Brain | 240x240 px
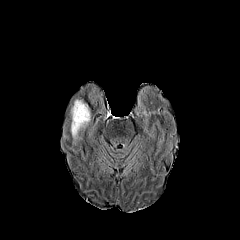
FLAIR MRI.
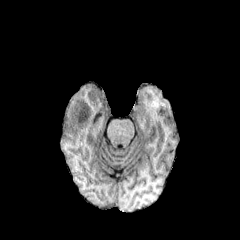
T1-weighted magnetic resonance.
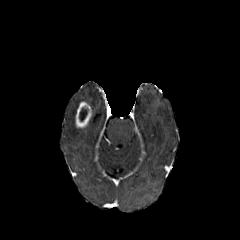
Post-contrast T1-weighted MRI of the same slice.
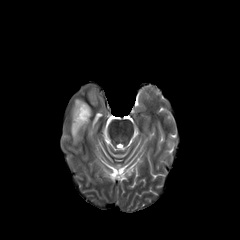
T2-weighted MR image of the same slice.
{
  "enhancing_tumor": [
    "75:101:91:128"
  ],
  "peritumoral_edema": [
    "71:99:81:143"
  ],
  "necrotic_tumor_core": [
    "79:108:87:121"
  ]
}